Slice index 94
FLAIR MR image.
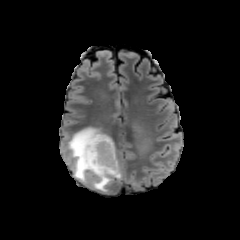
T1-weighted magnetic resonance.
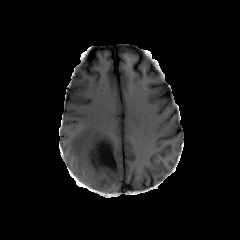
Post-contrast T1-weighted MR image.
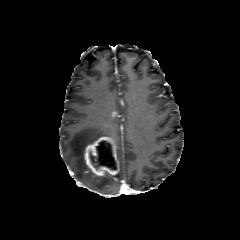
T2-weighted MR.
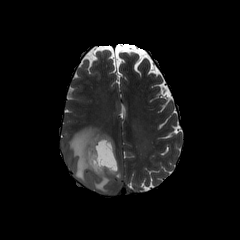
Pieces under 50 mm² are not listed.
The 2 largest peritumoral edema regions are bounded by 67, 127, 114, 192; 116, 162, 122, 180. The necrotic tumor core is located at 91, 140, 117, 169. The enhancing tumor lies within 84, 136, 119, 178.